Head. Axial view.
FLAIR MR.
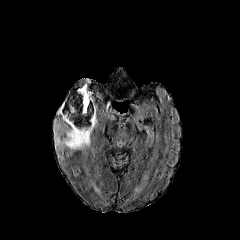
T1-weighted MRI.
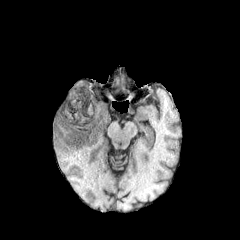
Post-contrast T1-weighted MRI.
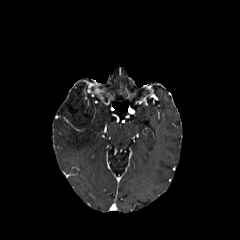
T2-weighted magnetic resonance.
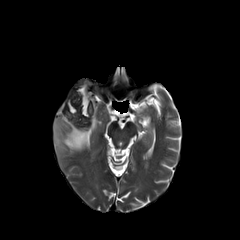
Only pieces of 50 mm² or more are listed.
<segmentation>
  <peritumoral_edema>l=58, t=105, r=67, b=123; l=54, t=114, r=97, b=152</peritumoral_edema>
  <enhancing_tumor>l=63, t=116, r=83, b=132</enhancing_tumor>
  <necrotic_tumor_core>l=62, t=82, r=93, b=129</necrotic_tumor_core>
</segmentation>